Brain. Axial slice. Image width 240 mm. 240x240 px.
FLAIR MR image.
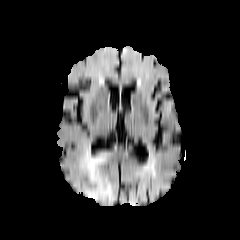
T1-weighted magnetic resonance.
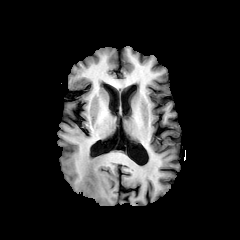
Post-contrast T1-weighted MR.
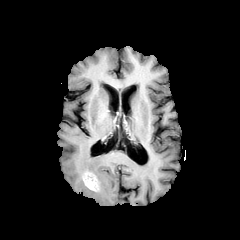
T2-weighted MRI.
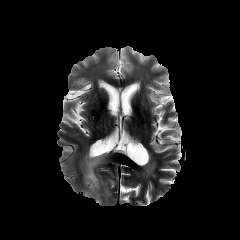
enhancing tumor = left=83, top=171, right=99, bottom=191
peritumoral edema = left=80, top=150, right=113, bottom=202